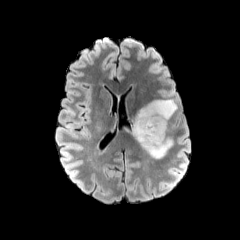
FLAIR MR.
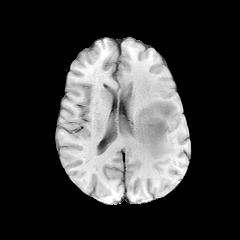
Same slice, T1-weighted MR.
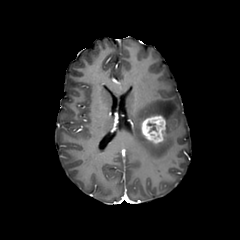
Post-contrast T1-weighted MRI of the same slice.
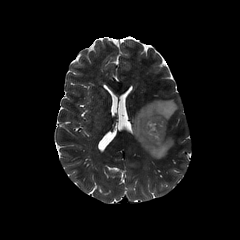
T2-weighted MR.
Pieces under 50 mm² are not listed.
Findings:
- peritumoral edema: [x1=122, y1=99, x2=177, y2=159]
- necrotic tumor core: [x1=145, y1=118, x2=163, y2=139]
- enhancing tumor: [x1=140, y1=115, x2=165, y2=144]